FLAIR MR.
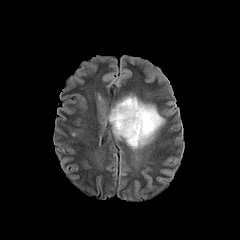
T1-weighted MRI.
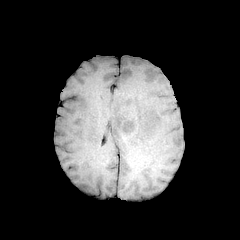
Post-contrast T1-weighted MRI.
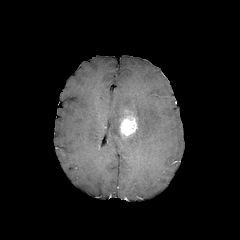
T2-weighted MR image.
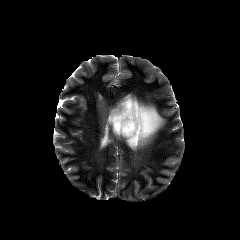
Head. Axial view.
enhancing tumor — [119, 109, 137, 136]
peritumoral edema — [108, 95, 164, 150]